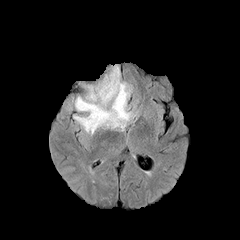
FLAIR MR.
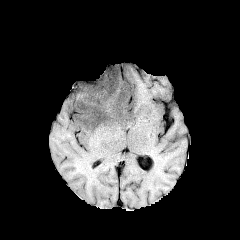
T1-weighted magnetic resonance of the same slice.
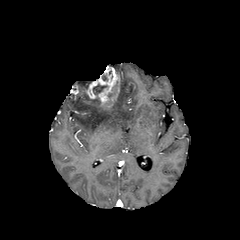
Post-contrast T1-weighted MRI of the same slice.
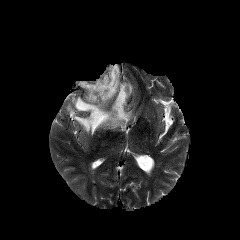
T2-weighted magnetic resonance of the same slice.
Axial plane, 240x240 px
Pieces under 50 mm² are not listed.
enhancing tumor at (left=85, top=66, right=119, bottom=106)
peritumoral edema at (left=74, top=81, right=134, bottom=134)
necrotic tumor core at (left=93, top=84, right=106, bottom=94)